FLAIR MR.
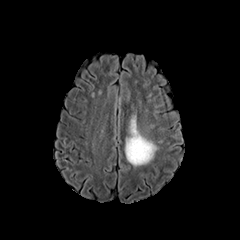
T1-weighted MR.
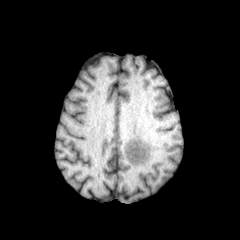
Post-contrast T1-weighted magnetic resonance.
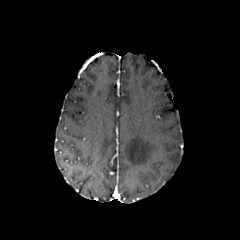
T2-weighted MR image.
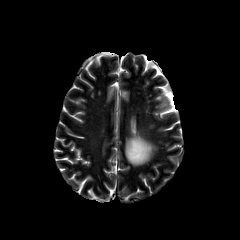
peritumoral_edema:
  - region(125, 115, 157, 166)